FLAIR magnetic resonance.
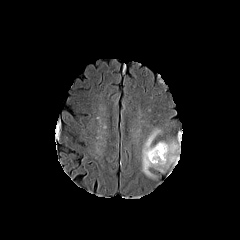
T1-weighted magnetic resonance.
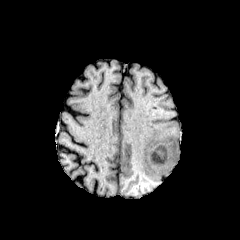
Post-contrast T1-weighted magnetic resonance.
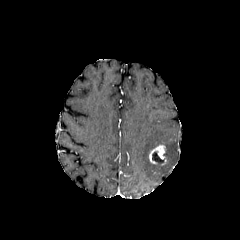
T2-weighted MR image.
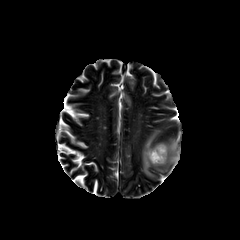
Axial plane. Brain.
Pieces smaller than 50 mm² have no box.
necrotic tumor core: 152:152:163:164
peritumoral edema: 142:128:179:177
enhancing tumor: 149:144:166:165